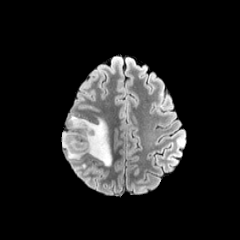
FLAIR magnetic resonance.
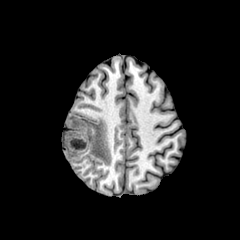
Same slice, T1-weighted MR.
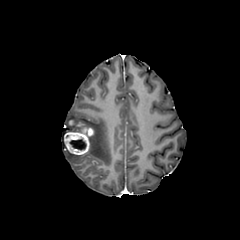
Same slice, post-contrast T1-weighted MR image.
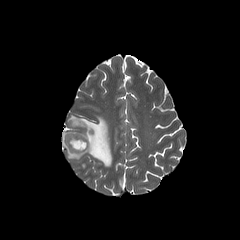
T2-weighted magnetic resonance.
240x240 px, Head
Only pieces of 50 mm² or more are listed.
Segmented structures:
• peritumoral edema: 62 114 111 166
• enhancing tumor: 63 120 93 155
• necrotic tumor core: 70 138 86 150